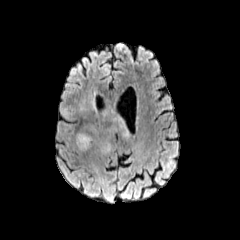
FLAIR MR.
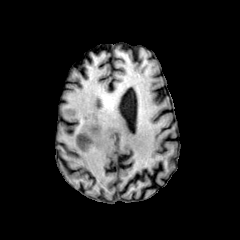
Same slice, T1-weighted magnetic resonance.
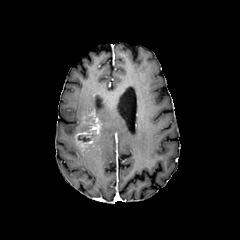
Same slice, post-contrast T1-weighted MR image.
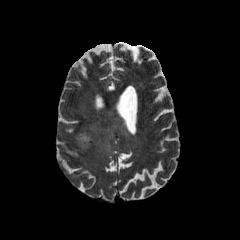
T2-weighted magnetic resonance.
240x240; Head; Axial view
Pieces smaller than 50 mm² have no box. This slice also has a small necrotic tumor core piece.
Segmented structures:
• peritumoral edema: region(98, 111, 130, 154)
• enhancing tumor: region(75, 112, 99, 151)